Image covers 240 mm x 240 mm; Axial view
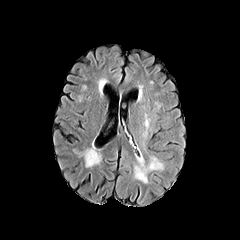
FLAIR MRI.
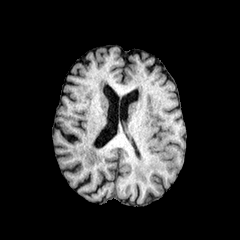
T1-weighted MRI.
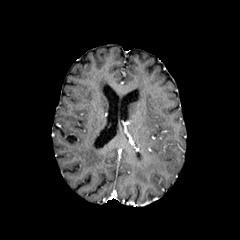
Same slice, post-contrast T1-weighted magnetic resonance.
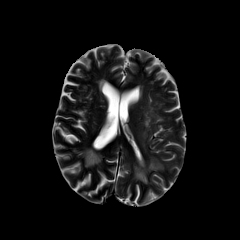
T2-weighted magnetic resonance.
{
  "peritumoral_edema": [
    "[137, 156, 144, 171]"
  ]
}